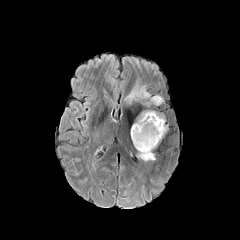
FLAIR MRI.
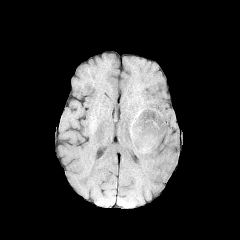
T1-weighted magnetic resonance of the same slice.
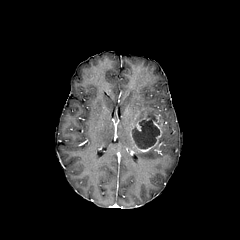
Post-contrast T1-weighted MR image.
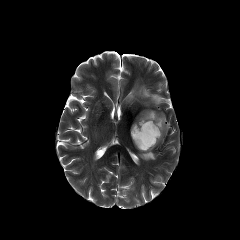
Same slice, T2-weighted MR.
240x240 px.
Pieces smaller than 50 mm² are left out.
The largest necrotic tumor core region is bounded by bbox(133, 115, 159, 148). The 4 largest peritumoral edema regions are bounded by bbox(150, 95, 163, 105); bbox(137, 110, 167, 141); bbox(137, 147, 155, 161); bbox(135, 86, 150, 98). The enhancing tumor is at bbox(131, 114, 162, 152).